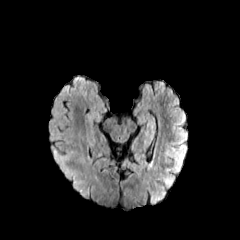
FLAIR MR image.
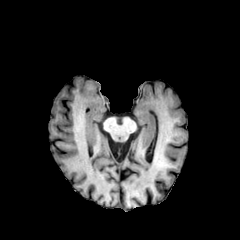
T1-weighted MR.
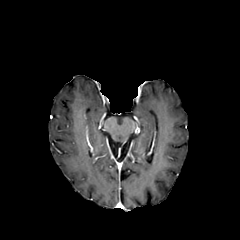
Post-contrast T1-weighted MR image of the same slice.
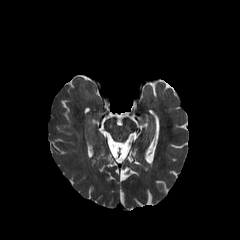
T2-weighted magnetic resonance.
Image size 240x240
The peritumoral edema appears at 51 140 91 199.